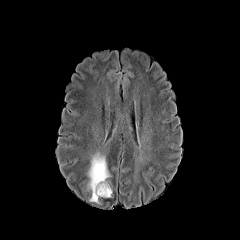
FLAIR MR image.
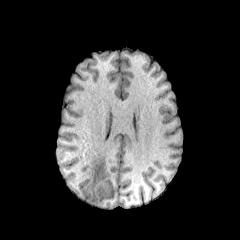
T1-weighted MRI.
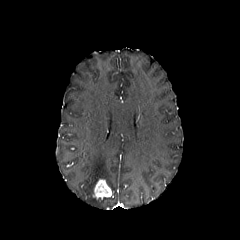
Post-contrast T1-weighted MR.
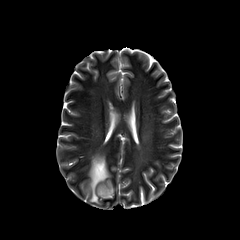
T2-weighted MRI of the same slice.
Axial slice; Brain
enhancing_tumor:
  - [93, 179, 112, 199]
peritumoral_edema:
  - [87, 152, 110, 203]
necrotic_tumor_core:
  - [96, 183, 110, 194]